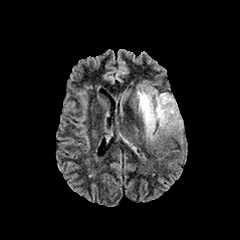
FLAIR MRI.
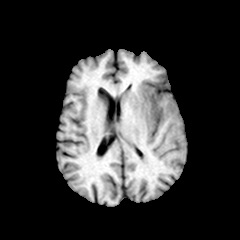
T1-weighted magnetic resonance.
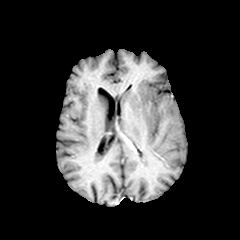
Post-contrast T1-weighted MR image of the same slice.
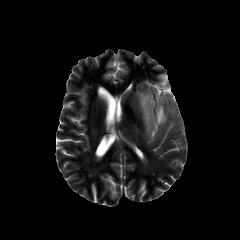
Same slice, T2-weighted MR.
Brain
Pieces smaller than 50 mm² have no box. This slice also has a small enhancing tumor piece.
The peritumoral edema is bounded by <box>136,85,181,140</box>.